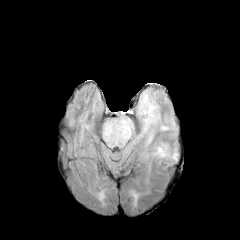
FLAIR MR image.
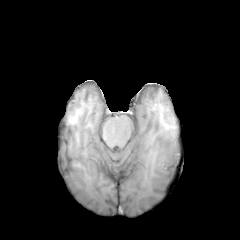
Same slice, T1-weighted MR image.
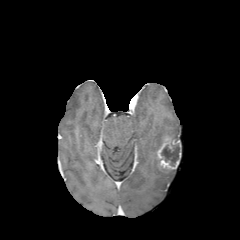
Post-contrast T1-weighted magnetic resonance.
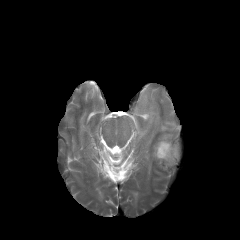
Same slice, T2-weighted MRI.
240x240
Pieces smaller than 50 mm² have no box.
necrotic_tumor_core:
  - bbox(161, 143, 179, 166)
enhancing_tumor:
  - bbox(157, 137, 181, 169)
peritumoral_edema:
  - bbox(139, 95, 176, 135)
  - bbox(147, 130, 154, 144)
  - bbox(153, 134, 177, 159)